Axial plane. Head.
FLAIR magnetic resonance.
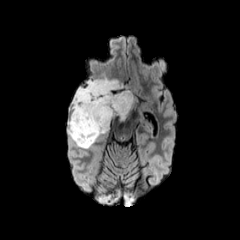
T1-weighted magnetic resonance.
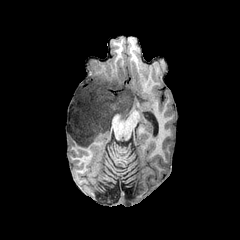
Post-contrast T1-weighted MR.
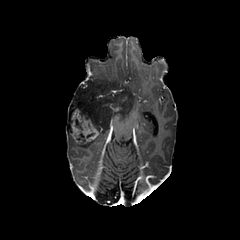
T2-weighted MR.
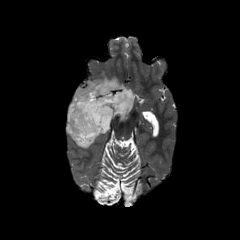
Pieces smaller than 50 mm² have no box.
Segmented structures:
• necrotic tumor core: [75, 118, 82, 130], [76, 133, 85, 142]
• peritumoral edema: [67, 73, 134, 148]
• enhancing tumor: [70, 107, 99, 144]